240x240 px, Slice 60/155, Brain, Axial view
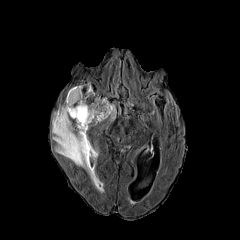
FLAIR MRI.
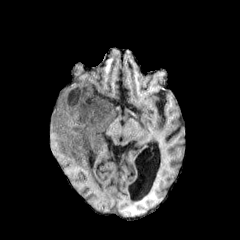
T1-weighted MRI.
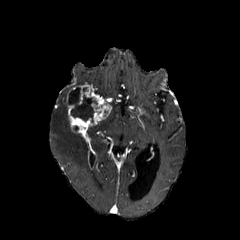
Post-contrast T1-weighted magnetic resonance.
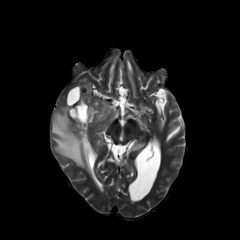
T2-weighted MR of the same slice.
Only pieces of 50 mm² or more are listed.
- peritumoral edema: [x1=52, y1=104, x2=98, y2=184], [x1=109, y1=104, x2=115, y2=120], [x1=89, y1=149, x2=98, y2=159]
- necrotic tumor core: [x1=68, y1=87, x2=97, y2=122]
- enhancing tumor: [x1=66, y1=84, x2=112, y2=157]